FLAIR MRI.
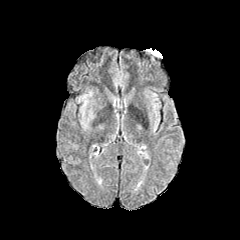
T1-weighted MR image.
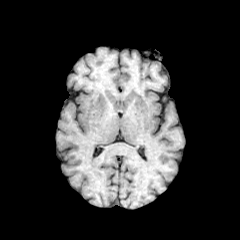
Post-contrast T1-weighted MRI.
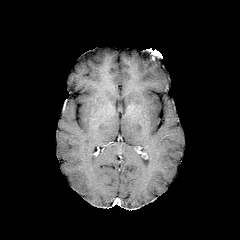
T2-weighted MR.
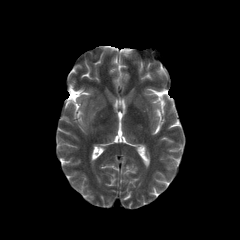
Image size 240x240, Axial slice
peritumoral edema: 79 91 94 127